Slice 132/155.
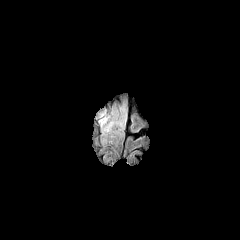
FLAIR magnetic resonance.
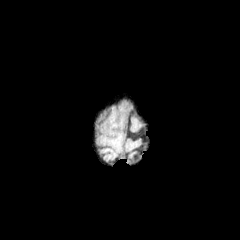
T1-weighted MR.
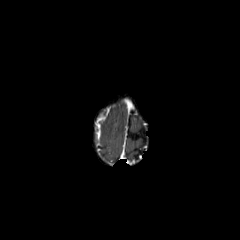
Post-contrast T1-weighted magnetic resonance.
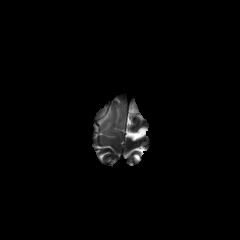
T2-weighted magnetic resonance.
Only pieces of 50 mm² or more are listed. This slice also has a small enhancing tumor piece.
The largest peritumoral edema region is located at l=100, t=106, r=125, b=135.